FLAIR MR.
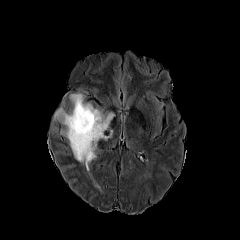
T1-weighted MR.
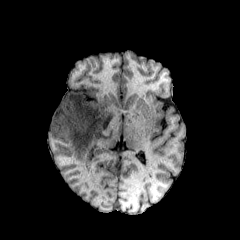
Post-contrast T1-weighted magnetic resonance.
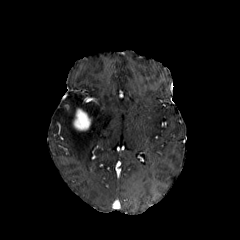
T2-weighted MR image.
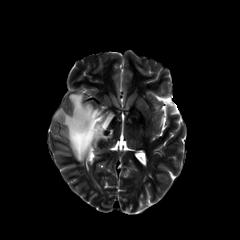
240x240 px; Axial plane
{"peritumoral_edema": ["(left=54, top=92, right=115, bottom=171)"], "enhancing_tumor": ["(left=73, top=107, right=92, bottom=131)"]}